Axial slice.
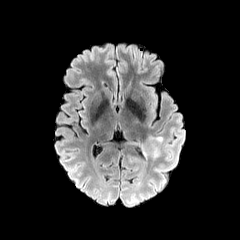
FLAIR magnetic resonance.
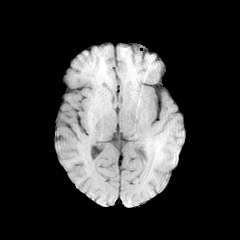
Same slice, T1-weighted MR image.
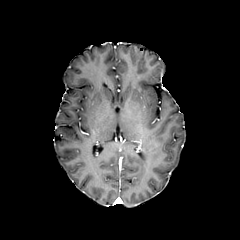
Post-contrast T1-weighted magnetic resonance.
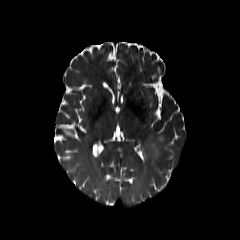
Same slice, T2-weighted MR.
peritumoral_edema:
  - <box>144,136,162,157</box>